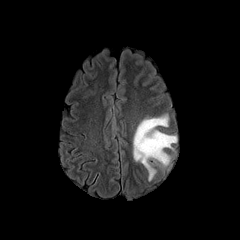
FLAIR MR image.
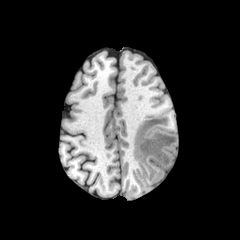
T1-weighted magnetic resonance.
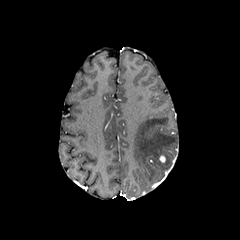
Post-contrast T1-weighted magnetic resonance.
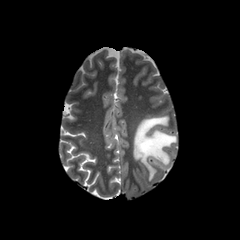
Same slice, T2-weighted magnetic resonance.
Brain
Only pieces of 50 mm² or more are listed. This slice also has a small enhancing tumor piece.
peritumoral_edema:
  - bbox=[133, 115, 177, 180]